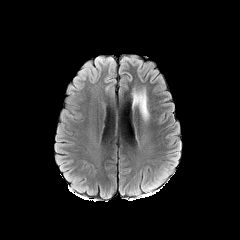
FLAIR MR.
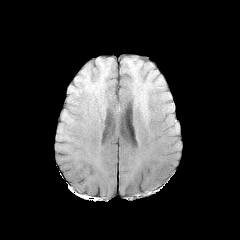
Same slice, T1-weighted MR.
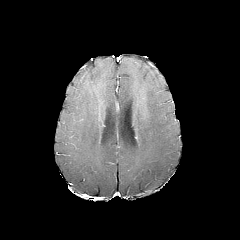
Post-contrast T1-weighted MR.
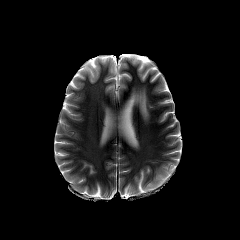
Same slice, T2-weighted magnetic resonance.
Axial view, Head
peritumoral edema at x1=133, y1=90, x2=148, y2=119